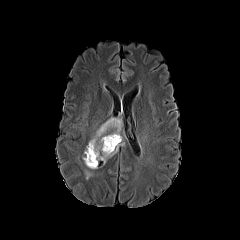
FLAIR MR image.
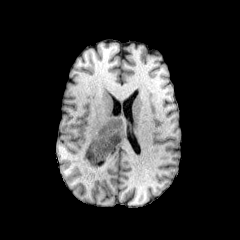
T1-weighted MR of the same slice.
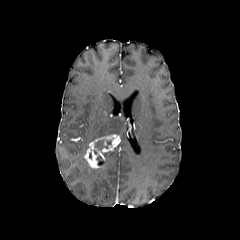
Same slice, post-contrast T1-weighted MRI.
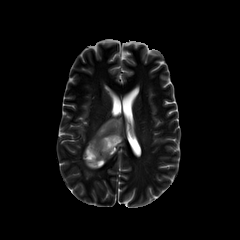
Same slice, T2-weighted MR.
Axial plane; Image size 240x240; Brain
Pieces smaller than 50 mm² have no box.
{"enhancing_tumor": ["box=[84, 134, 120, 168]"], "peritumoral_edema": ["box=[90, 118, 124, 162]"], "necrotic_tumor_core": ["box=[95, 140, 111, 150]"]}